FLAIR magnetic resonance.
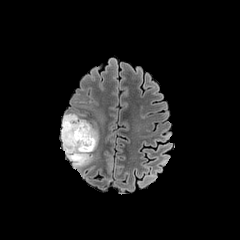
T1-weighted MR.
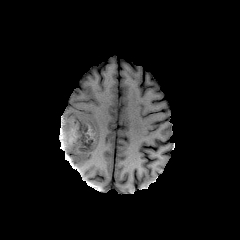
Post-contrast T1-weighted MRI.
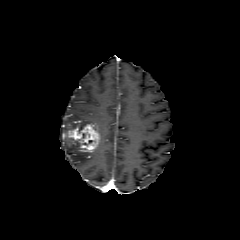
T2-weighted MRI.
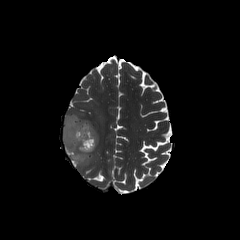
Head
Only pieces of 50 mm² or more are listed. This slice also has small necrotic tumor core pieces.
The largest enhancing tumor region appears at (63, 120, 99, 152). The peritumoral edema lies within (61, 114, 93, 166).